Slice index 88, Image width 240 mm, 240x240
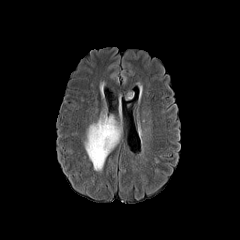
FLAIR MR image.
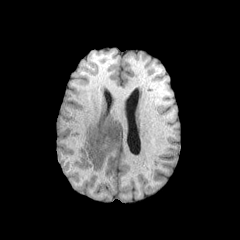
T1-weighted MRI.
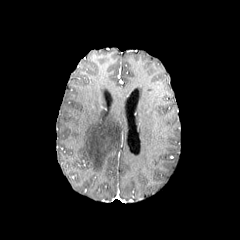
Same slice, post-contrast T1-weighted MR image.
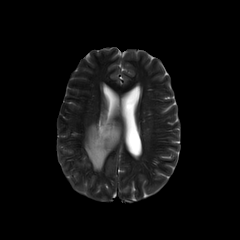
T2-weighted MR.
peritumoral edema: bounding box (84,112,120,171)